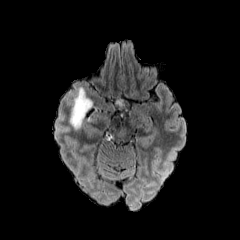
FLAIR MR.
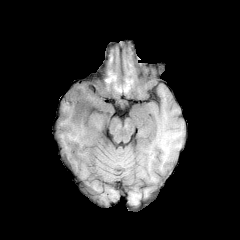
T1-weighted MR.
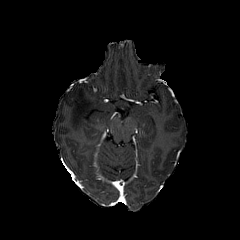
Post-contrast T1-weighted MR.
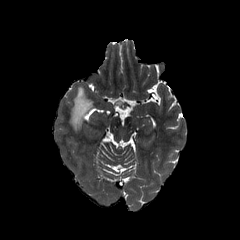
T2-weighted MRI.
Axial plane | Brain
2 peritumoral edema regions are located at (70, 87, 94, 129), (115, 98, 123, 109).